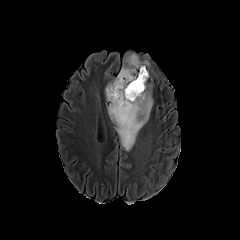
FLAIR MR image.
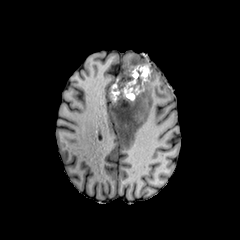
T1-weighted magnetic resonance.
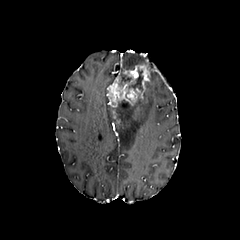
Post-contrast T1-weighted MRI.
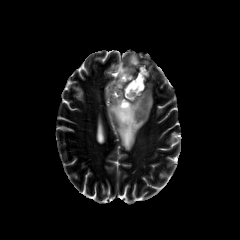
T2-weighted MR image of the same slice.
Brain. Axial slice.
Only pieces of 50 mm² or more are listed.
The largest enhancing tumor region is at rect(107, 65, 148, 124). The 3 largest peritumoral edema regions are bounded by rect(120, 52, 149, 71); rect(105, 78, 114, 101); rect(108, 83, 153, 150). The 3 largest necrotic tumor core regions are located at rect(119, 73, 132, 85); rect(116, 99, 135, 122); rect(128, 68, 143, 91).